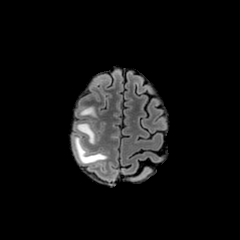
FLAIR MR.
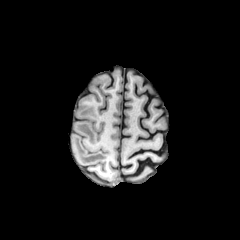
Same slice, T1-weighted MR.
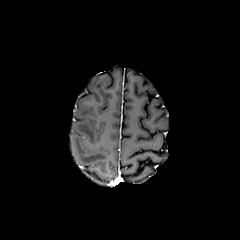
Post-contrast T1-weighted MR image of the same slice.
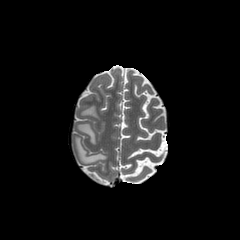
T2-weighted MRI.
Axial view; Brain
peritumoral edema: region(74, 137, 106, 163); region(76, 123, 95, 143); region(80, 107, 96, 116)